Brain | Image size 240x240
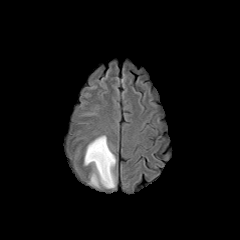
FLAIR MR image.
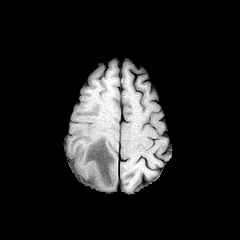
Same slice, T1-weighted MR.
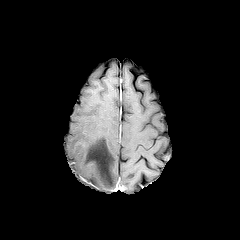
Post-contrast T1-weighted MR.
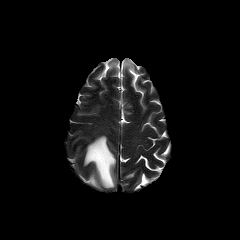
T2-weighted magnetic resonance of the same slice.
peritumoral edema: bounding box 84 136 115 188